FLAIR magnetic resonance.
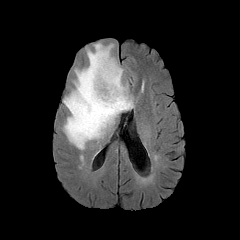
T1-weighted magnetic resonance.
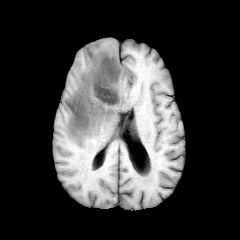
Post-contrast T1-weighted MR image.
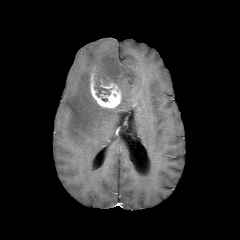
T2-weighted magnetic resonance.
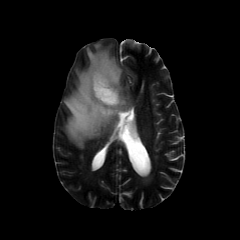
Axial plane; Head
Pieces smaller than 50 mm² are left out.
The peritumoral edema lies within 63,42,133,149. The largest necrotic tumor core region is at 94,70,110,96. The enhancing tumor lies within 90,66,121,108.